Brain, Image covers 240 mm x 240 mm, Axial view
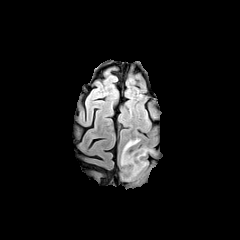
FLAIR MR.
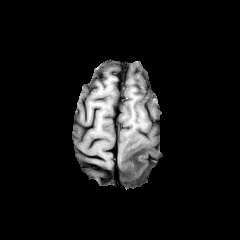
T1-weighted magnetic resonance of the same slice.
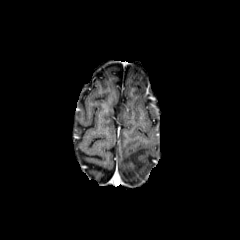
Post-contrast T1-weighted MR.
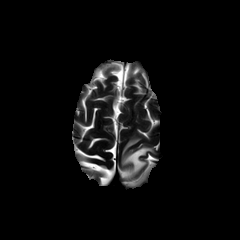
T2-weighted magnetic resonance.
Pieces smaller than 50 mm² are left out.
peritumoral edema: 121 139 153 182